FLAIR MRI.
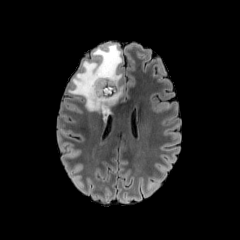
T1-weighted MRI.
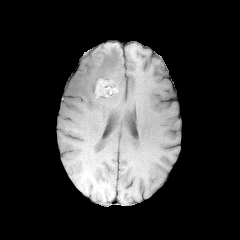
Post-contrast T1-weighted MRI.
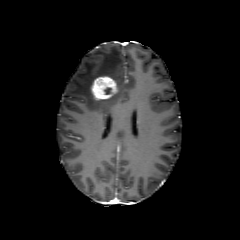
T2-weighted MR image.
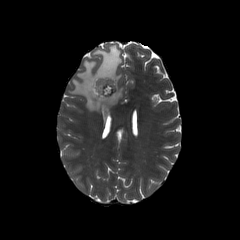
Axial view | 240x240 px
<segmentation>
  <enhancing_tumor>(90,76,117,100)</enhancing_tumor>
  <necrotic_tumor_core>(97,80,113,95)</necrotic_tumor_core>
  <peritumoral_edema>(68,44,123,118)</peritumoral_edema>
</segmentation>